Brain.
FLAIR MR.
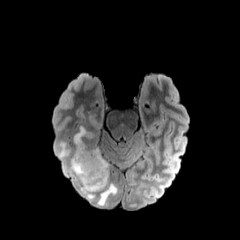
T1-weighted MRI.
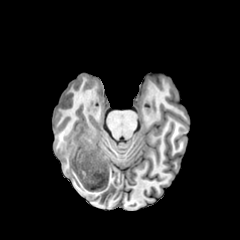
Post-contrast T1-weighted MR image.
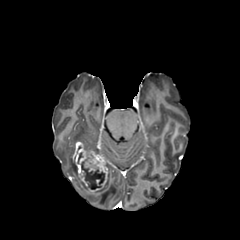
T2-weighted MR image.
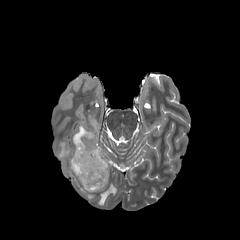
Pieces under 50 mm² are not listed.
The largest enhancing tumor region is at left=73, top=141, right=107, bottom=191. The largest necrotic tumor core region appears at left=81, top=157, right=104, bottom=189. The peritumoral edema appears at left=55, top=126, right=117, bottom=205.